240x240 px, Head
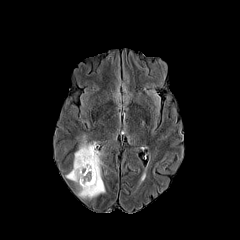
FLAIR magnetic resonance.
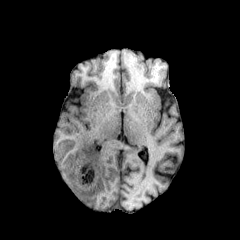
Same slice, T1-weighted MRI.
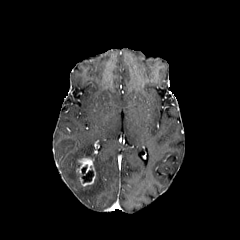
Post-contrast T1-weighted MR.
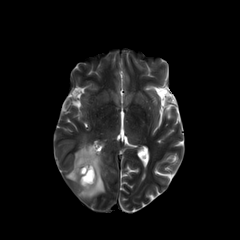
Same slice, T2-weighted magnetic resonance.
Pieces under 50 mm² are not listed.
The largest enhancing tumor region lies within region(76, 156, 95, 186). The necrotic tumor core is located at region(81, 165, 93, 182). The peritumoral edema is bounded by region(65, 135, 105, 199).